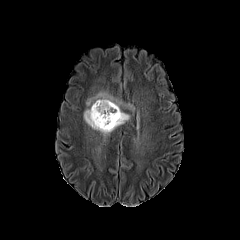
FLAIR magnetic resonance.
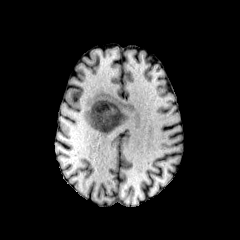
T1-weighted magnetic resonance.
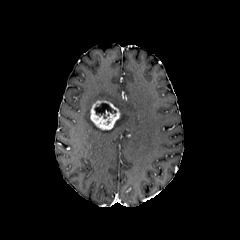
Post-contrast T1-weighted MR image.
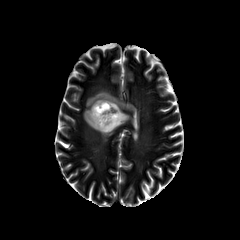
T2-weighted MR image of the same slice.
Axial plane; 240x240; Brain
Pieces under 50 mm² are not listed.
peritumoral_edema:
  - (x1=83, y1=91, x2=132, y2=136)
necrotic_tumor_core:
  - (x1=94, y1=103, x2=116, y2=118)
enhancing_tumor:
  - (x1=90, y1=100, x2=120, y2=129)